FLAIR MR.
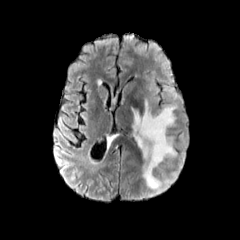
T1-weighted MR.
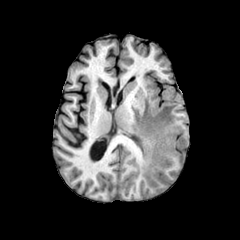
Post-contrast T1-weighted MR image.
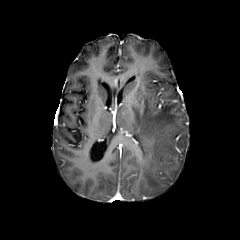
T2-weighted MR.
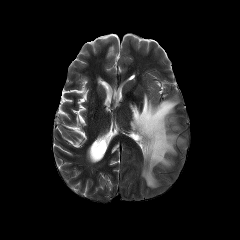
Head
peritumoral edema: <bbox>131, 100, 175, 188</bbox>